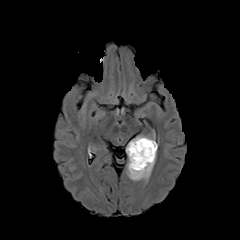
FLAIR MRI.
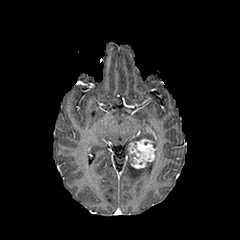
T1-weighted MR of the same slice.
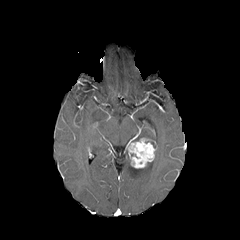
Post-contrast T1-weighted MR of the same slice.
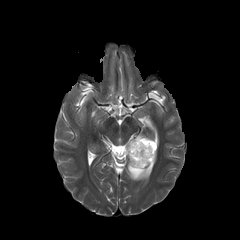
T2-weighted MRI.
Head
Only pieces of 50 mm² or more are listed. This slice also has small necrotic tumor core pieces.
{
  "peritumoral_edema": [
    "126, 142, 157, 181"
  ],
  "enhancing_tumor": [
    "127, 138, 156, 168"
  ]
}